FLAIR magnetic resonance.
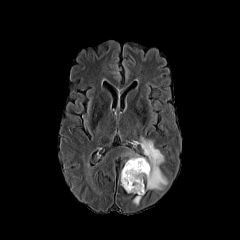
T1-weighted MR.
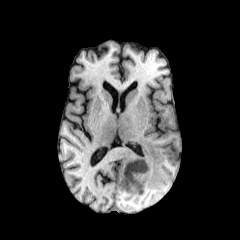
Post-contrast T1-weighted magnetic resonance.
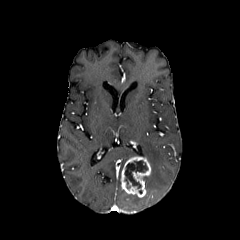
T2-weighted MR.
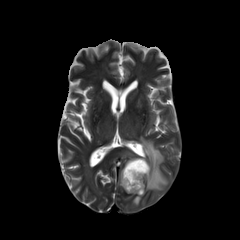
Axial slice. Image size 240x240.
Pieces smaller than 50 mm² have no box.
peritumoral edema: bbox=[133, 196, 140, 205]; bbox=[139, 137, 167, 190] | necrotic tumor core: bbox=[125, 160, 147, 188] | enhancing tumor: bbox=[120, 156, 151, 197]